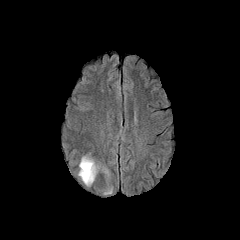
FLAIR MRI.
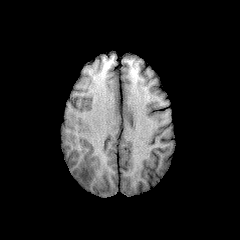
T1-weighted MR image.
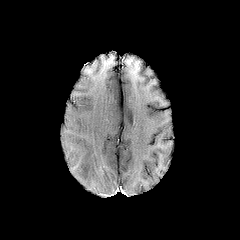
Post-contrast T1-weighted MR image.
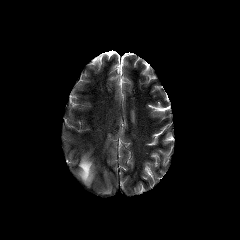
T2-weighted MR image of the same slice.
240x240 px.
Annotated regions:
• peritumoral edema: (78, 157, 95, 185)